Slice 83/155; Axial slice
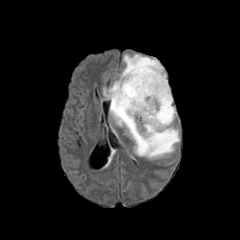
FLAIR MRI.
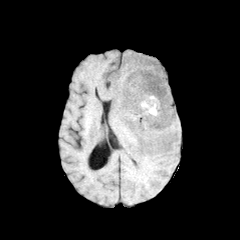
T1-weighted magnetic resonance of the same slice.
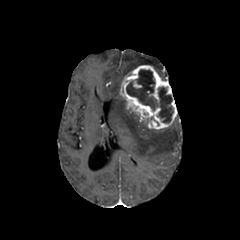
Post-contrast T1-weighted MRI of the same slice.
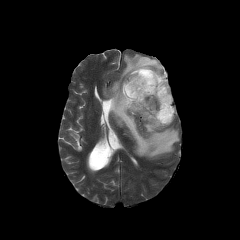
Same slice, T2-weighted MRI.
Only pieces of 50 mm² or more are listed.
<segmentation>
  <enhancing_tumor><box>119,65,177,129</box></enhancing_tumor>
  <peritumoral_edema><box>103,54,179,159</box></peritumoral_edema>
  <necrotic_tumor_core><box>126,69,173,122</box></necrotic_tumor_core>
</segmentation>